Image size 240x240; Axial slice
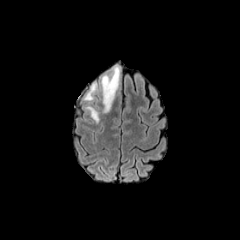
FLAIR MRI.
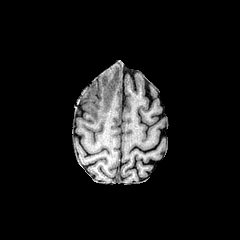
T1-weighted MR image.
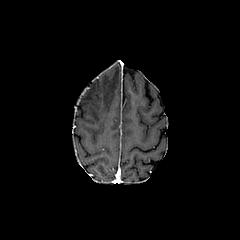
Post-contrast T1-weighted magnetic resonance of the same slice.
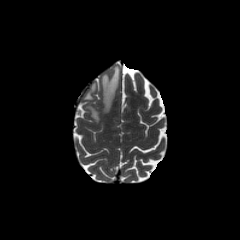
T2-weighted MR of the same slice.
3 peritumoral edema regions appear at (101,66,120,113), (86,106,99,122), (84,83,96,100).